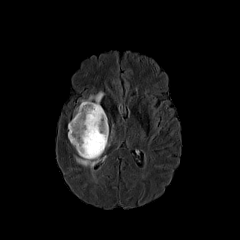
FLAIR MRI.
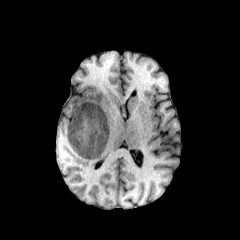
T1-weighted MR image.
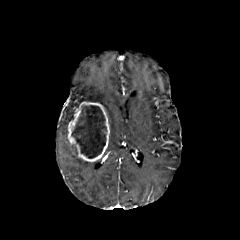
Post-contrast T1-weighted MRI.
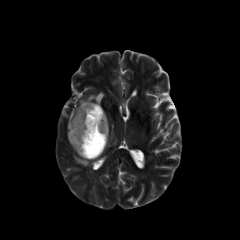
T2-weighted magnetic resonance of the same slice.
240x240 px.
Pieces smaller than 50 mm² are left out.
enhancing tumor: bbox=[68, 101, 109, 161] | necrotic tumor core: bbox=[72, 105, 106, 158] | peritumoral edema: bbox=[80, 91, 104, 102]; bbox=[75, 157, 99, 169]